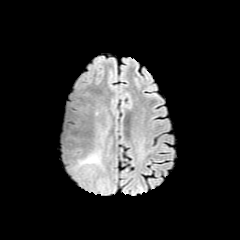
FLAIR magnetic resonance.
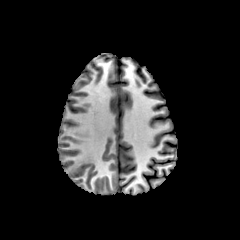
T1-weighted magnetic resonance of the same slice.
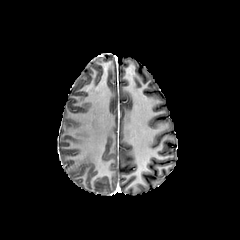
Post-contrast T1-weighted magnetic resonance.
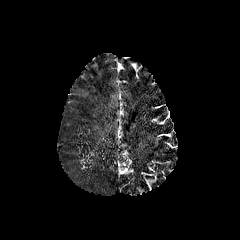
T2-weighted magnetic resonance.
240x240 px | Brain
peritumoral_edema:
  - x1=79 y1=125 x2=109 y2=171